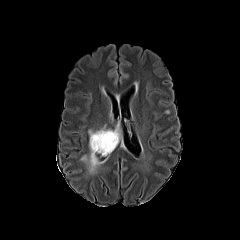
FLAIR magnetic resonance.
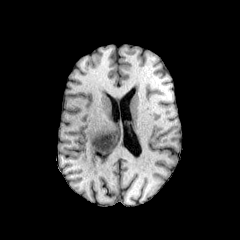
T1-weighted magnetic resonance.
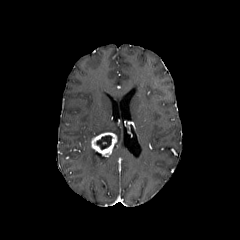
Post-contrast T1-weighted MR.
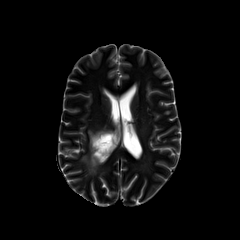
Same slice, T2-weighted MR.
Brain. Image size 240x240.
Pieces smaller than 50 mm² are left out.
<segmentation>
  <peritumoral_edema>81 124 120 173</peritumoral_edema>
  <enhancing_tumor>91 132 117 156</enhancing_tumor>
  <necrotic_tumor_core>96 135 111 149</necrotic_tumor_core>
</segmentation>